Head, 240x240
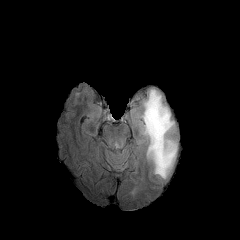
FLAIR MR image.
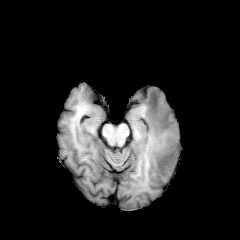
T1-weighted magnetic resonance.
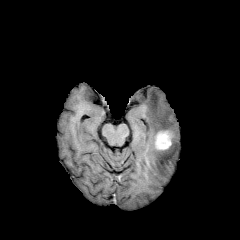
Post-contrast T1-weighted MR.
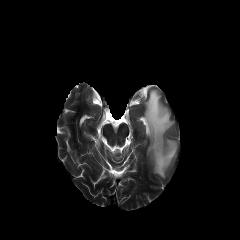
T2-weighted magnetic resonance of the same slice.
The enhancing tumor is bounded by 155 131 171 149. The peritumoral edema appears at 142 89 177 178.